FLAIR MR image.
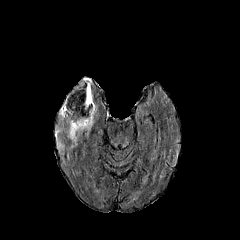
T1-weighted MRI.
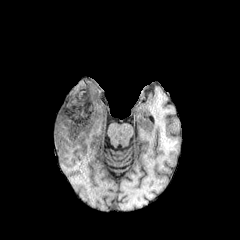
Post-contrast T1-weighted MR.
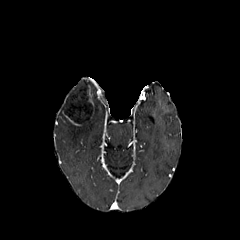
T2-weighted magnetic resonance.
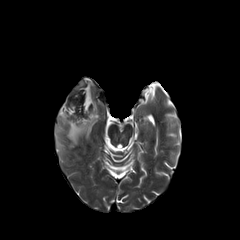
240x240 px.
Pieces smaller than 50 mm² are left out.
necrotic_tumor_core:
  - 61,80,92,124
peritumoral_edema:
  - 59,104,96,147
  - 56,137,64,150
enhancing_tumor:
  - 88,85,94,118
  - 61,110,80,125
  - 67,80,86,99